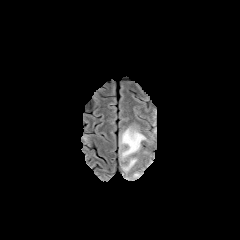
FLAIR magnetic resonance.
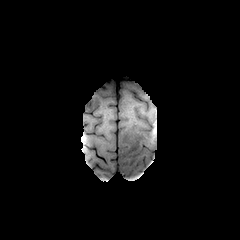
T1-weighted MR image.
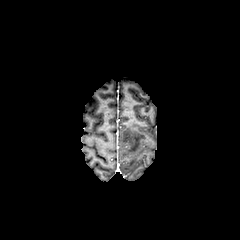
Same slice, post-contrast T1-weighted MR.
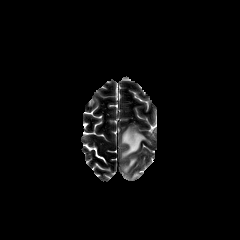
T2-weighted MR image of the same slice.
Brain
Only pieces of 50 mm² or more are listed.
The 2 largest peritumoral edema regions are located at (122, 157, 137, 172), (120, 127, 146, 158).